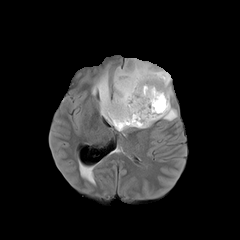
FLAIR magnetic resonance.
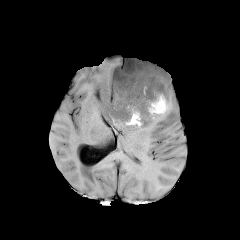
T1-weighted MR of the same slice.
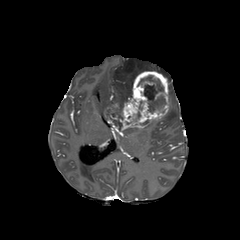
Post-contrast T1-weighted MR.
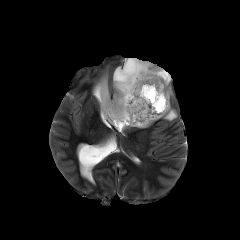
Same slice, T2-weighted MRI.
Brain. 240x240 px. Axial slice.
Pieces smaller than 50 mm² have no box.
The enhancing tumor lies within (104, 71, 169, 131). The largest necrotic tumor core region appears at (138, 76, 165, 113). The largest peritumoral edema region appears at (92, 58, 177, 120).